Axial slice; Image width 240 mm
FLAIR MR image.
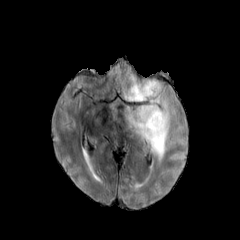
T1-weighted MRI.
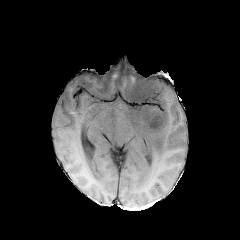
Post-contrast T1-weighted MR image.
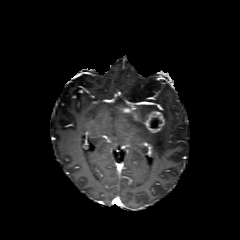
T2-weighted magnetic resonance.
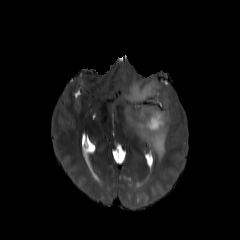
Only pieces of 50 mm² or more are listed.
2 enhancing tumor regions are bounded by 122,108,139,120; 143,110,165,133. The largest peritumoral edema region appears at 122,76,171,159. The necrotic tumor core is at 150,117,161,128.